FLAIR MR image.
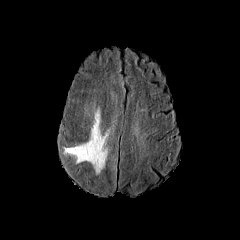
T1-weighted magnetic resonance.
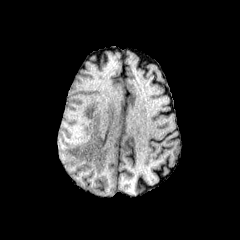
Post-contrast T1-weighted MRI.
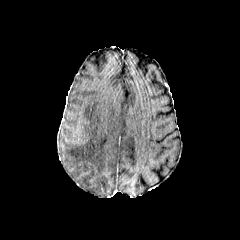
T2-weighted magnetic resonance.
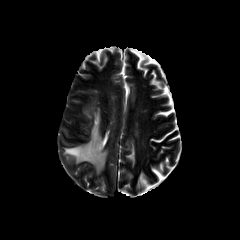
peritumoral edema: 63, 107, 109, 174